Slice 51 of 155, Head, Axial slice
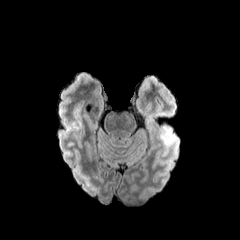
FLAIR MRI.
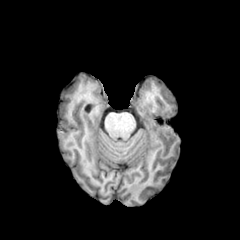
T1-weighted MR.
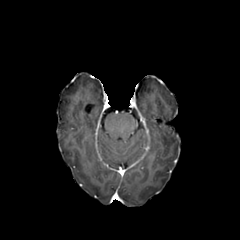
Post-contrast T1-weighted magnetic resonance of the same slice.
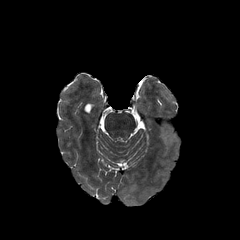
T2-weighted MRI of the same slice.
peritumoral_edema:
  - l=160, t=127, r=176, b=146